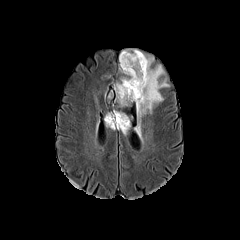
FLAIR MR.
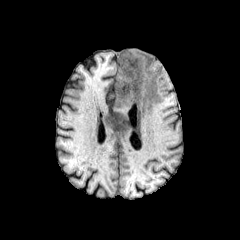
T1-weighted MR image of the same slice.
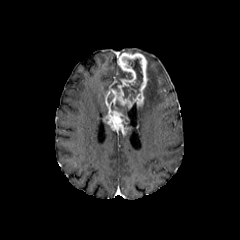
Post-contrast T1-weighted MR image.
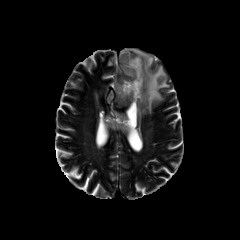
Same slice, T2-weighted MRI.
Head; 240x240; Axial view
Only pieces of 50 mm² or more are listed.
necrotic tumor core — 123 59 142 100
peritumoral edema — 119 67 132 78, 120 49 169 136
enhancing tumor — 104 111 130 134, 114 52 148 107